FLAIR MR image.
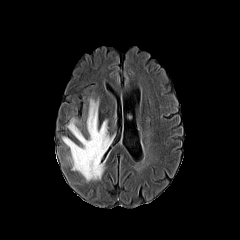
T1-weighted MR image.
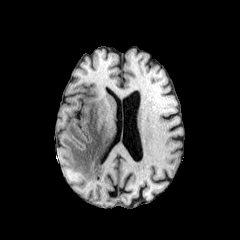
Post-contrast T1-weighted MR.
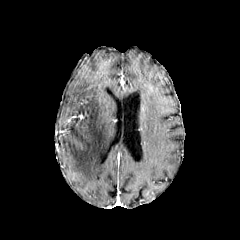
T2-weighted MR image.
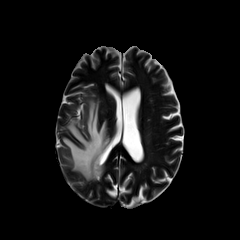
Head | Axial view
peritumoral edema — (62,98,112,181)